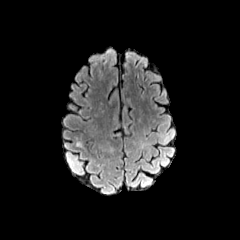
FLAIR MR image.
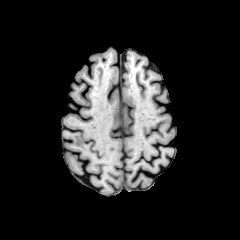
T1-weighted magnetic resonance of the same slice.
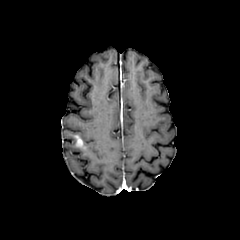
Post-contrast T1-weighted magnetic resonance.
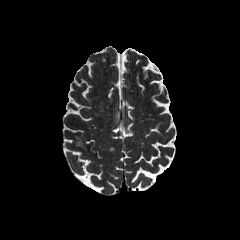
T2-weighted MRI.
Axial slice
The enhancing tumor lies within left=74, top=135, right=84, bottom=147.